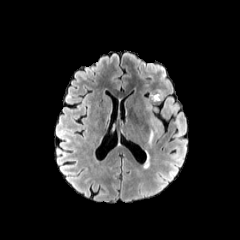
FLAIR MR image.
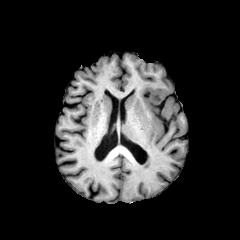
T1-weighted MR.
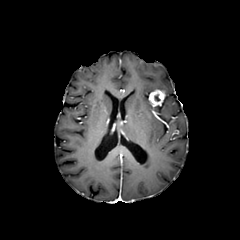
Post-contrast T1-weighted MRI of the same slice.
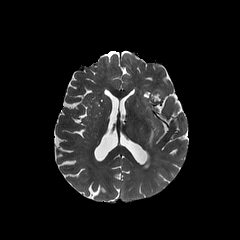
Same slice, T2-weighted MR image.
Head.
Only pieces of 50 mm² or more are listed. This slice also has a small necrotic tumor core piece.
enhancing_tumor:
  - 149,89,165,105
peritumoral_edema:
  - 143,152,149,168
  - 148,129,154,145